Brain
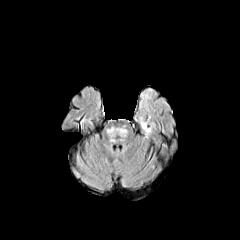
FLAIR magnetic resonance.
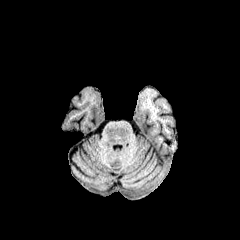
T1-weighted MR of the same slice.
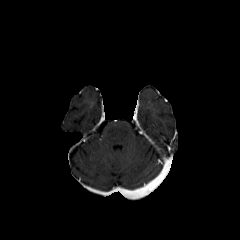
Post-contrast T1-weighted MR of the same slice.
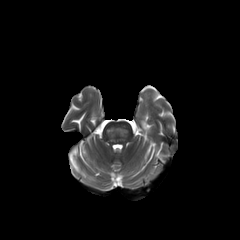
T2-weighted MR.
The peritumoral edema lies within rect(140, 118, 151, 139).